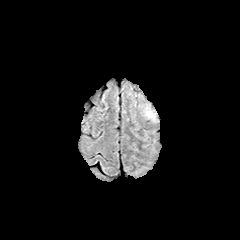
FLAIR MR.
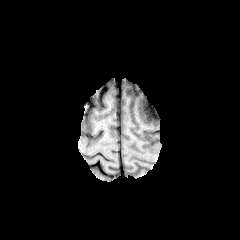
T1-weighted MR of the same slice.
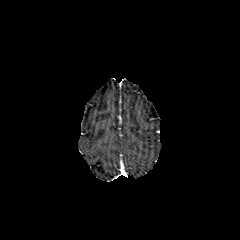
Post-contrast T1-weighted MR image.
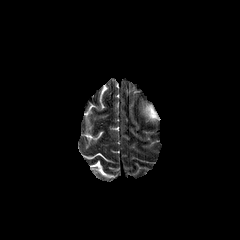
T2-weighted MR image.
Axial view.
Findings:
• peritumoral edema: x1=146 y1=107 x2=155 y2=117